FLAIR MRI.
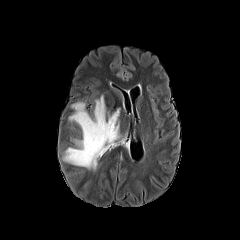
T1-weighted MR.
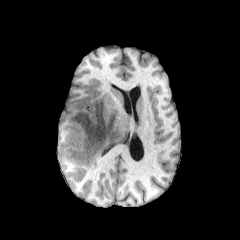
Post-contrast T1-weighted MR.
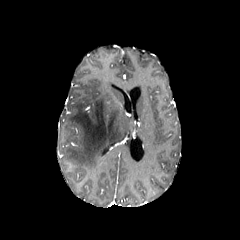
T2-weighted MR.
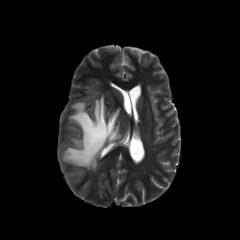
Brain.
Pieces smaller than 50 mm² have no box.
{"peritumoral_edema": ["left=63, top=95, right=121, bottom=169"]}